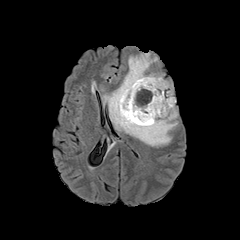
FLAIR magnetic resonance.
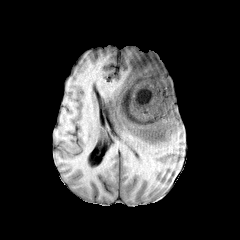
T1-weighted MR of the same slice.
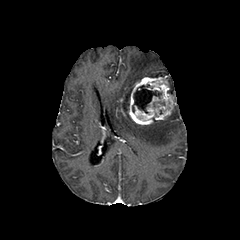
Post-contrast T1-weighted MR image of the same slice.
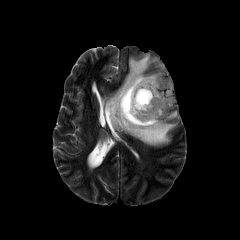
T2-weighted MR image of the same slice.
Axial plane | 240x240 px
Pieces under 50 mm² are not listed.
Annotated regions:
* necrotic tumor core: (x1=133, y1=84, x2=161, y2=113)
* enhancing tumor: (x1=120, y1=76, x2=175, y2=125)
* peritumoral edema: (x1=103, y1=52, x2=178, y2=147)